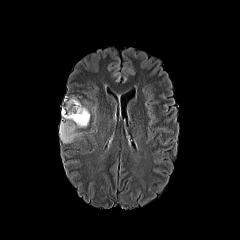
FLAIR MRI.
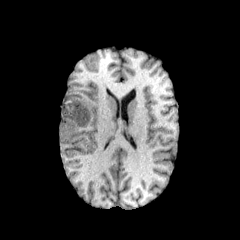
T1-weighted MR image.
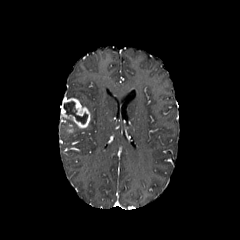
Post-contrast T1-weighted MR image of the same slice.
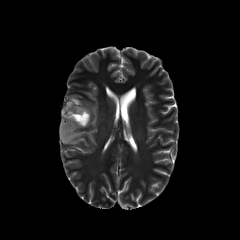
T2-weighted MRI.
Axial slice. Image size 240x240.
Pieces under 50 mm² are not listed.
enhancing tumor: bounding box bbox=[61, 97, 90, 128]
necrotic tumor core: bounding box bbox=[63, 101, 87, 124]
peritumoral edema: bounding box bbox=[58, 119, 85, 143]